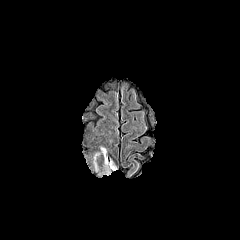
FLAIR MR.
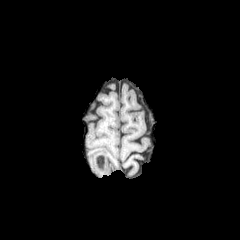
T1-weighted MRI.
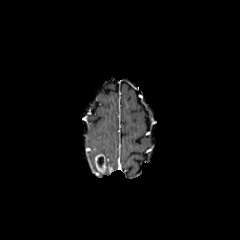
Same slice, post-contrast T1-weighted MR.
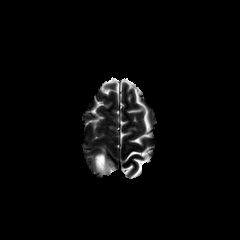
T2-weighted MRI.
Head. 240x240.
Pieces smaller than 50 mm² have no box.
enhancing tumor: bbox(94, 154, 113, 174) | peritumoral edema: bbox(100, 147, 116, 170) | necrotic tumor core: bbox(97, 157, 103, 167)